Brain, Slice 127 of 155
FLAIR MRI.
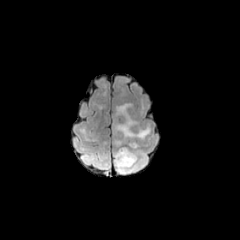
T1-weighted magnetic resonance.
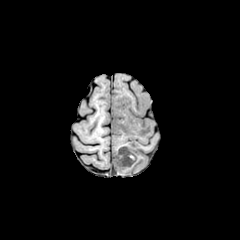
Post-contrast T1-weighted MRI.
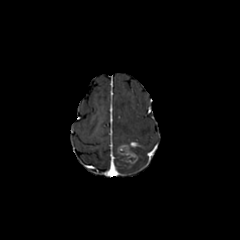
T2-weighted magnetic resonance.
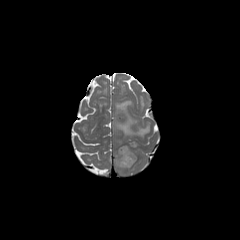
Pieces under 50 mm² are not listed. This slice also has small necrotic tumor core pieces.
enhancing tumor at (left=117, top=142, right=139, bottom=167)
peritumoral edema at (left=113, top=147, right=146, bottom=173), (left=114, top=103, right=150, bottom=139)